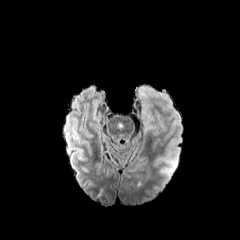
FLAIR MR image.
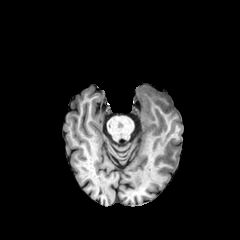
T1-weighted MR image.
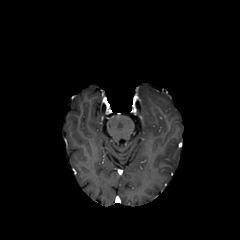
Post-contrast T1-weighted MR of the same slice.
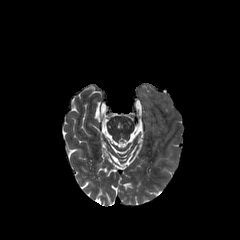
T2-weighted MR image.
Brain; Axial slice; Image size 240x240
peritumoral_edema:
  - 135:85:173:121